FLAIR MR image.
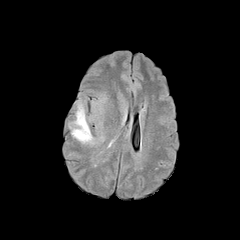
T1-weighted MR image.
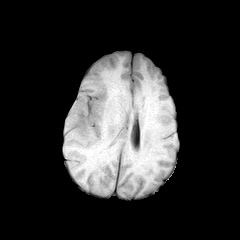
Post-contrast T1-weighted MR.
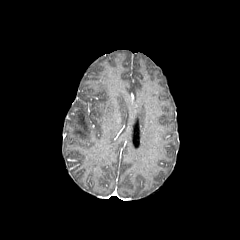
T2-weighted MR.
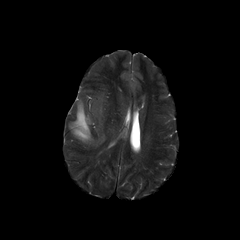
Brain. Axial slice.
{"peritumoral_edema": ["left=72, top=102, right=92, bottom=142"]}